Brain | Slice index 64
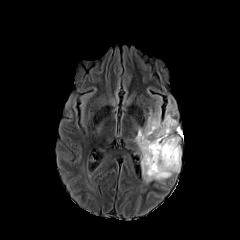
FLAIR MR.
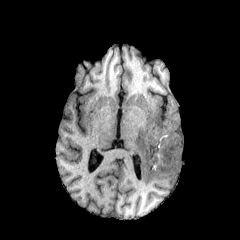
T1-weighted MR.
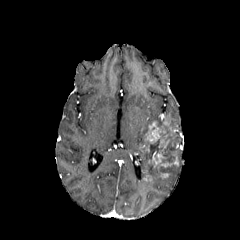
Post-contrast T1-weighted MR of the same slice.
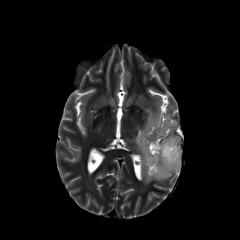
Same slice, T2-weighted MRI.
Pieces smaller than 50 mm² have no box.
peritumoral edema at [165, 103, 179, 128], [168, 151, 180, 177], [134, 106, 161, 179]
necrotic tumor core at [140, 120, 180, 177]
enhancing tumor at [159, 139, 170, 147], [145, 121, 165, 143], [152, 151, 178, 167]